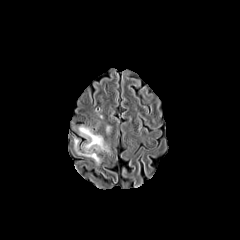
FLAIR MR image.
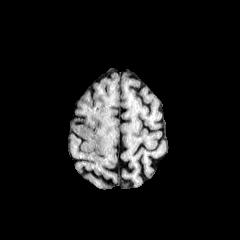
T1-weighted MR image of the same slice.
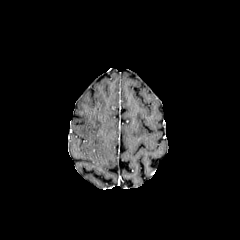
Post-contrast T1-weighted MRI of the same slice.
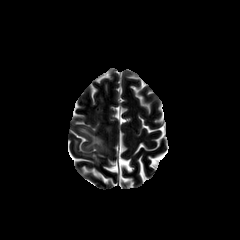
T2-weighted MR image.
Axial slice. Brain.
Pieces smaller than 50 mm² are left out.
Segmented structures:
• peritumoral edema: box=[78, 126, 109, 164]